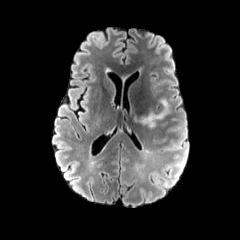
FLAIR MRI.
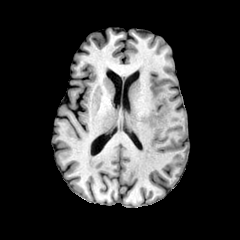
T1-weighted MRI of the same slice.
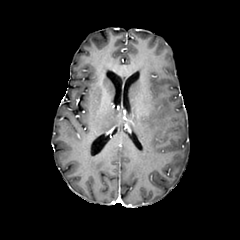
Post-contrast T1-weighted MR image.
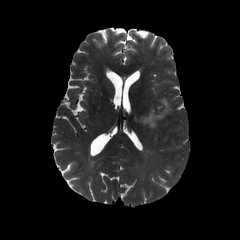
Same slice, T2-weighted MRI.
240x240; Axial slice; Head
The peritumoral edema appears at rect(133, 98, 170, 127).